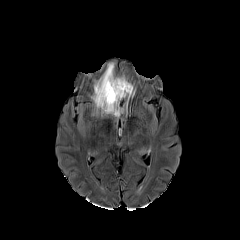
FLAIR MR.
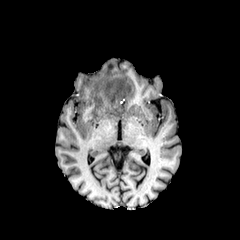
Same slice, T1-weighted MRI.
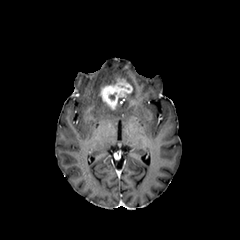
Post-contrast T1-weighted MRI.
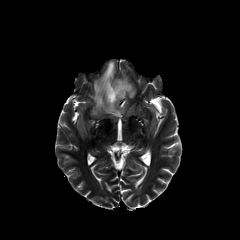
T2-weighted MRI of the same slice.
240x240.
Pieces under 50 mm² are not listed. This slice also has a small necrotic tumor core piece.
enhancing tumor = [99, 78, 132, 110]
peritumoral edema = [91, 62, 122, 116]